FLAIR MR image.
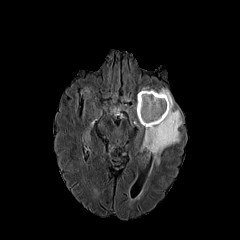
T1-weighted MR.
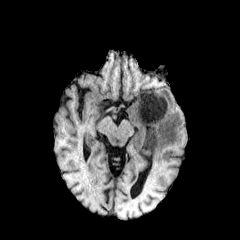
Post-contrast T1-weighted MR image.
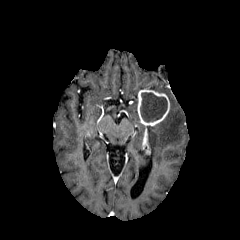
T2-weighted MR.
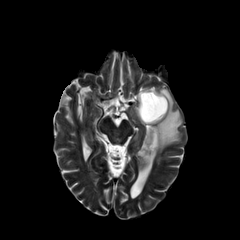
240x240
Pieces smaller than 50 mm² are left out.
<segmentation>
  <necrotic_tumor_core>box(140, 93, 167, 121)</necrotic_tumor_core>
  <peritumoral_edema>box(145, 88, 182, 164)</peritumoral_edema>
  <enhancing_tumor>box(137, 89, 169, 126)</enhancing_tumor>
</segmentation>